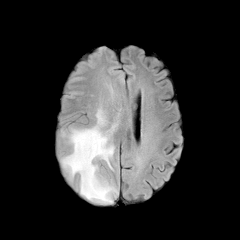
FLAIR MRI.
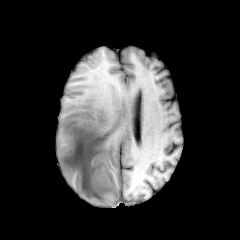
T1-weighted MR.
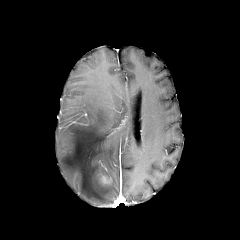
Post-contrast T1-weighted MR image.
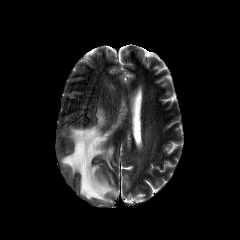
T2-weighted magnetic resonance.
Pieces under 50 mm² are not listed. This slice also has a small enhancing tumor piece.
peritumoral_edema:
  - (61,107,118,203)